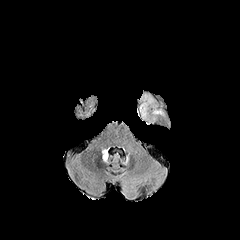
FLAIR MRI.
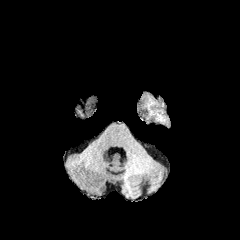
T1-weighted magnetic resonance of the same slice.
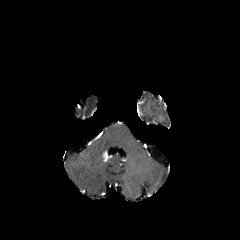
Same slice, post-contrast T1-weighted MR.
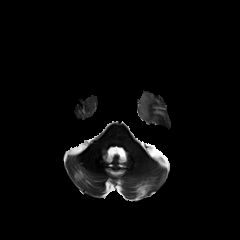
Same slice, T2-weighted MR.
Axial plane. Head. Image size 240x240.
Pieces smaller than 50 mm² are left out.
The largest peritumoral edema region is located at [139,96,147,121]. The enhancing tumor is located at [102,151,110,161].